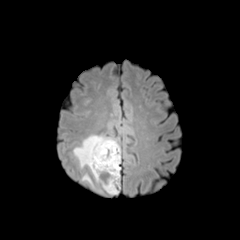
FLAIR magnetic resonance.
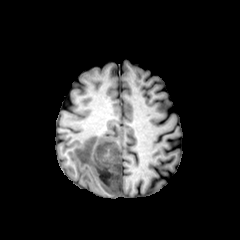
Same slice, T1-weighted MR.
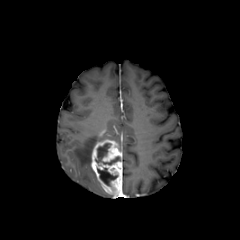
Post-contrast T1-weighted MR.
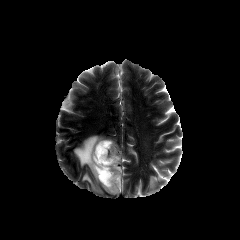
T2-weighted MR image.
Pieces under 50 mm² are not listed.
Findings:
- enhancing tumor: bbox(91, 139, 122, 194)
- necrotic tumor core: bbox(97, 168, 117, 186); bbox(95, 143, 120, 165)
- peritumoral edema: bbox(82, 173, 101, 192); bbox(73, 135, 117, 184)